FLAIR MRI.
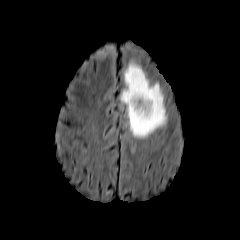
T1-weighted MRI.
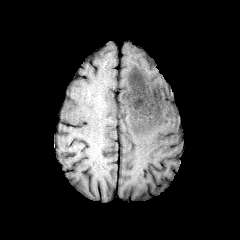
Post-contrast T1-weighted MR.
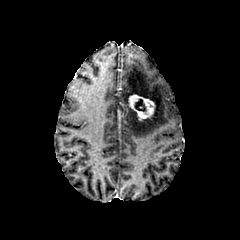
T2-weighted MR image.
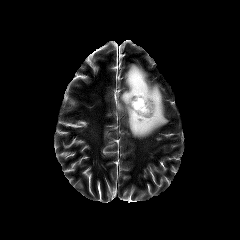
Brain.
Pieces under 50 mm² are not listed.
peritumoral_edema:
  - <bbox>120, 63, 167, 138</bbox>
enhancing_tumor:
  - <bbox>128, 94, 155, 120</bbox>
necrotic_tumor_core:
  - <bbox>134, 99, 145, 111</bbox>